Image covers 240 mm x 240 mm | 240x240 px
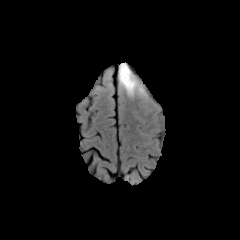
FLAIR MR image.
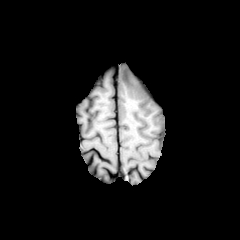
Same slice, T1-weighted MR image.
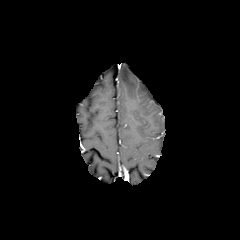
Post-contrast T1-weighted MRI of the same slice.
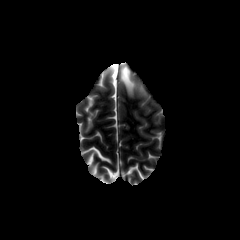
T2-weighted MRI.
peritumoral edema: box=[119, 63, 146, 97]